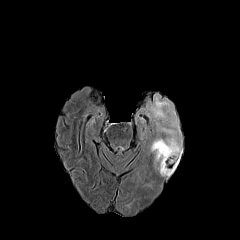
FLAIR MRI.
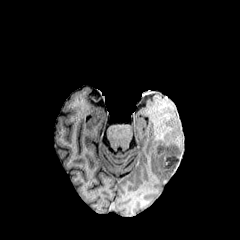
T1-weighted magnetic resonance.
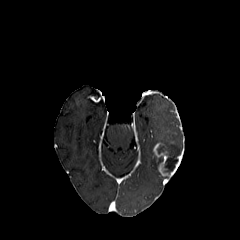
Same slice, post-contrast T1-weighted MRI.
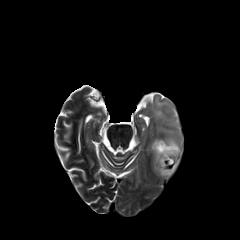
Same slice, T2-weighted magnetic resonance.
Head, 240x240
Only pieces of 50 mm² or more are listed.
peritumoral_edema:
  - (148, 96, 182, 153)
necrotic_tumor_core:
  - (158, 145, 180, 173)
enhancing_tumor:
  - (153, 142, 181, 177)